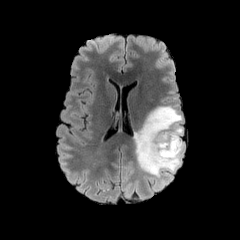
FLAIR MRI.
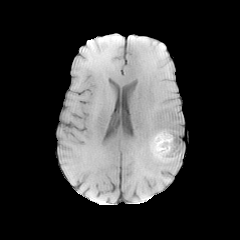
T1-weighted MRI.
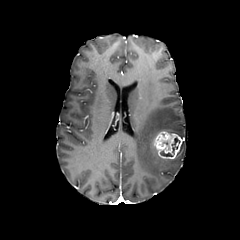
Post-contrast T1-weighted MR.
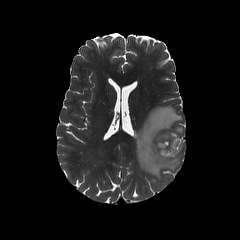
T2-weighted MR.
240x240 px; Axial view; Brain
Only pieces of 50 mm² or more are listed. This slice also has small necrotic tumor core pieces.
The peritumoral edema is located at <bbox>133, 106, 184, 182</bbox>. The enhancing tumor is at <bbox>153, 131, 181, 159</bbox>.